FLAIR MR image.
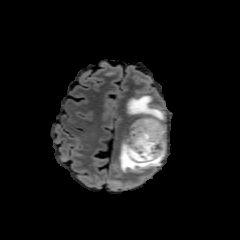
T1-weighted MRI.
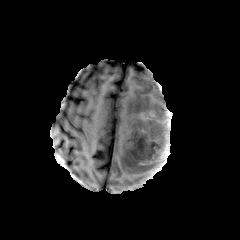
Post-contrast T1-weighted magnetic resonance.
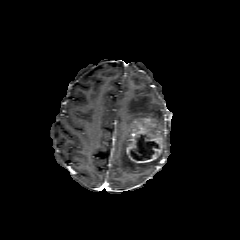
T2-weighted MR image.
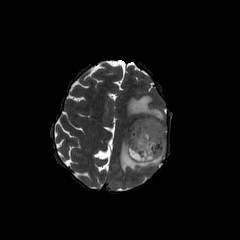
Image size 240x240 | Axial plane
{"necrotic_tumor_core": ["(x1=130, y1=134, x2=158, y2=160)"], "peritumoral_edema": ["(x1=119, y1=139, x2=161, y2=172)", "(x1=127, y1=95, x2=164, y2=121)"], "enhancing_tumor": ["(x1=125, y1=116, x2=166, y2=164)"]}